240x240
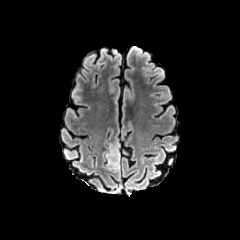
FLAIR MR.
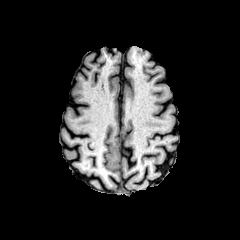
Same slice, T1-weighted MR.
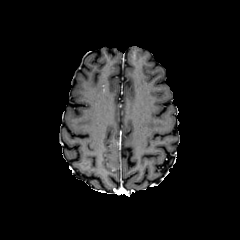
Post-contrast T1-weighted MR of the same slice.
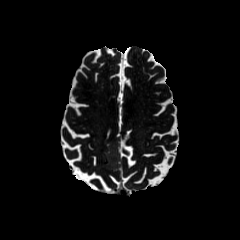
Same slice, T2-weighted magnetic resonance.
Segmented structures:
• peritumoral edema: 102,139,120,170